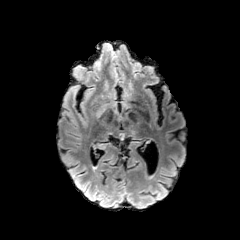
FLAIR MR.
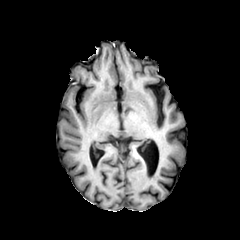
T1-weighted magnetic resonance.
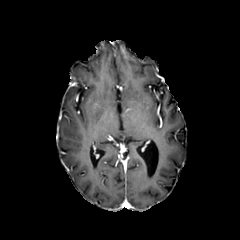
Post-contrast T1-weighted MR image.
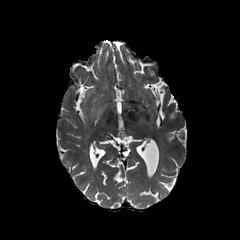
T2-weighted magnetic resonance.
Head.
3 peritumoral edema regions are bounded by (95,142,110,149), (96,109,103,119), (70,84,80,89).